FLAIR MR image.
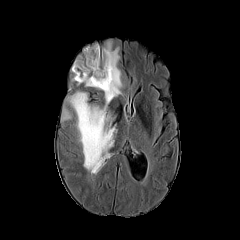
T1-weighted MR.
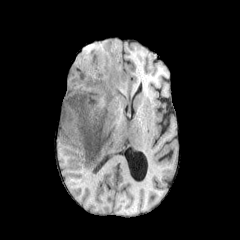
Post-contrast T1-weighted MRI.
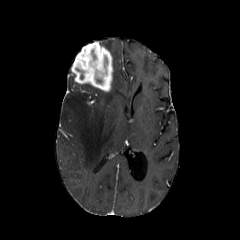
T2-weighted MR.
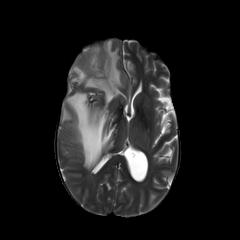
Head, Axial plane, 240x240
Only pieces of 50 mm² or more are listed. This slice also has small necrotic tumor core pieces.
peritumoral edema: bounding box (left=62, top=107, right=72, bottom=121), (left=66, top=41, right=122, bottom=170)
enhancing tumor: bounding box (left=71, top=42, right=113, bottom=92)